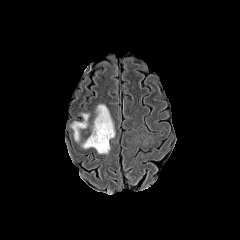
FLAIR MR.
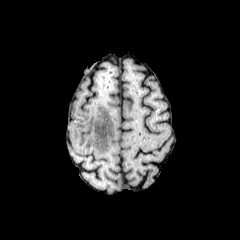
T1-weighted MR image.
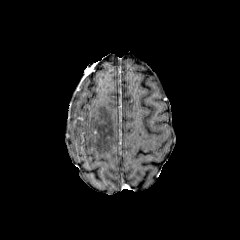
Post-contrast T1-weighted MRI.
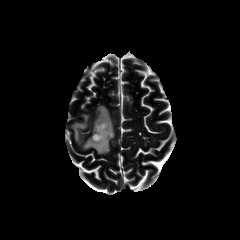
T2-weighted MRI.
Axial view
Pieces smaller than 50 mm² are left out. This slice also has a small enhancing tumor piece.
<segmentation>
  <peritumoral_edema>(left=82, top=104, right=114, bottom=153), (left=71, top=113, right=89, bottom=141)</peritumoral_edema>
</segmentation>